FLAIR MR image.
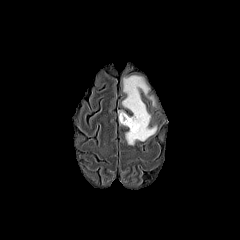
T1-weighted MR.
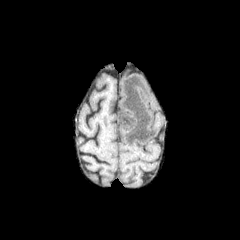
Post-contrast T1-weighted magnetic resonance.
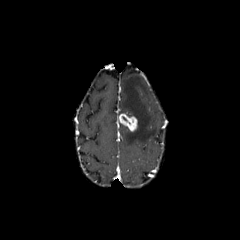
T2-weighted MR image.
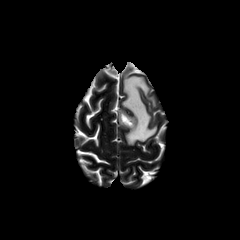
Head.
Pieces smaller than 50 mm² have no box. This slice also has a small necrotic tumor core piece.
{"peritumoral_edema": ["left=122, top=74, right=157, bottom=145"], "enhancing_tumor": ["left=118, top=113, right=137, bottom=131"]}